FLAIR magnetic resonance.
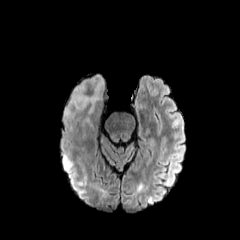
T1-weighted MRI.
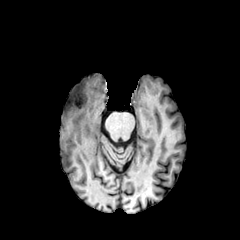
Post-contrast T1-weighted MRI.
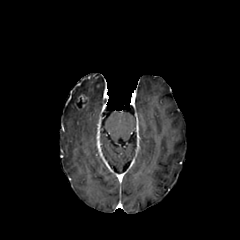
T2-weighted magnetic resonance.
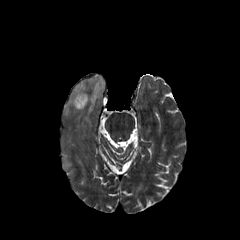
240x240 px.
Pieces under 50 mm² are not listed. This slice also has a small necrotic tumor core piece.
peritumoral edema: (left=64, top=75, right=104, bottom=119), (left=64, top=159, right=71, bottom=169) | enhancing tumor: (left=74, top=92, right=89, bottom=109)